Slice 129 of 155. Axial plane. Brain.
FLAIR MRI.
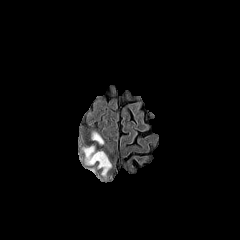
T1-weighted MR image.
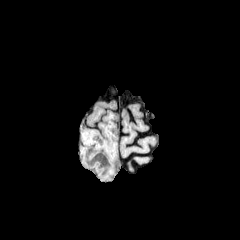
Post-contrast T1-weighted MR.
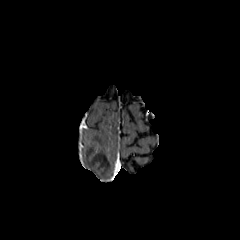
T2-weighted MR.
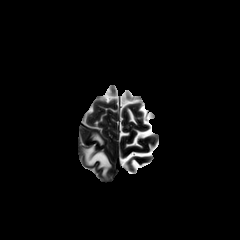
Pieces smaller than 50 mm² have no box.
<segmentation>
  <peritumoral_edema><box>92,133,103,144</box>, <box>84,146,111,176</box></peritumoral_edema>
</segmentation>